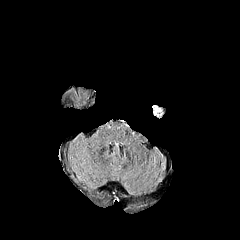
FLAIR MR.
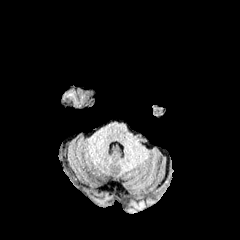
T1-weighted magnetic resonance of the same slice.
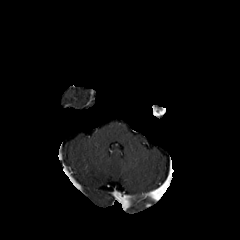
Post-contrast T1-weighted MR.
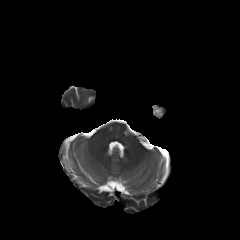
Same slice, T2-weighted MRI.
Head; Axial plane
The enhancing tumor is located at [x1=152, y1=105, x2=164, y2=117].